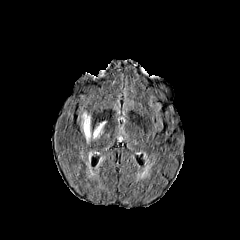
FLAIR MR.
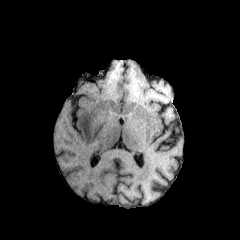
Same slice, T1-weighted MRI.
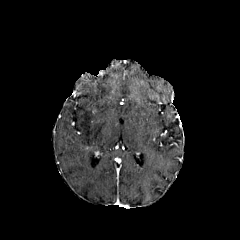
Same slice, post-contrast T1-weighted MR.
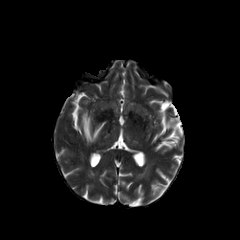
T2-weighted MR image.
240x240, Axial view
{
  "peritumoral_edema": [
    "<box>86,166,95,177</box>",
    "<box>81,112,106,142</box>"
  ]
}